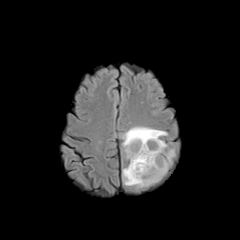
FLAIR MR.
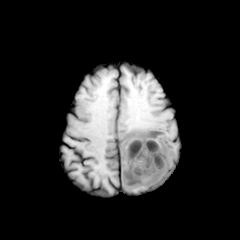
T1-weighted MRI.
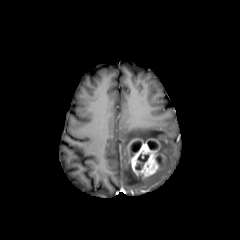
Post-contrast T1-weighted MRI of the same slice.
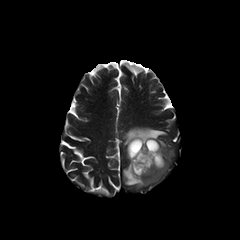
T2-weighted MR of the same slice.
Head | Axial plane
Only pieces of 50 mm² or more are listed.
peritumoral edema — 122 126 175 188
enhancing tumor — 127 138 163 177
necrotic tumor core — 135 154 149 170, 147 141 156 149, 131 140 141 152